Slice index 25, Head, Image width 240 mm, 240x240
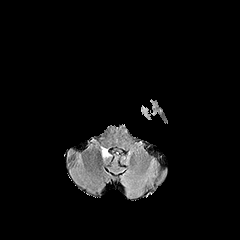
FLAIR MRI.
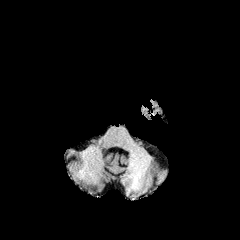
T1-weighted MRI of the same slice.
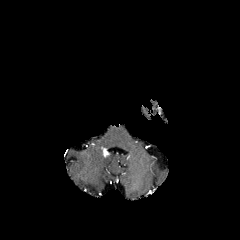
Post-contrast T1-weighted MRI.
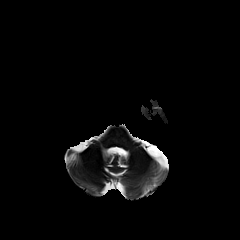
T2-weighted MRI.
enhancing tumor: bounding box [x1=101, y1=147, x2=109, y2=157]